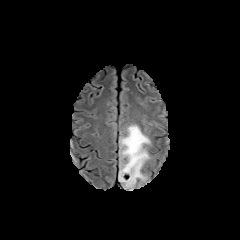
FLAIR MRI.
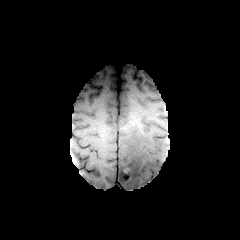
T1-weighted magnetic resonance.
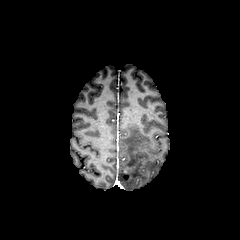
Post-contrast T1-weighted magnetic resonance of the same slice.
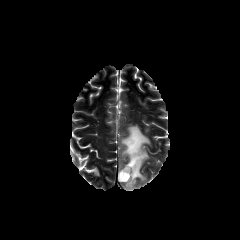
T2-weighted magnetic resonance.
Axial slice, 240x240 px
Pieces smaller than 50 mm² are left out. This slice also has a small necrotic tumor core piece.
Findings:
* peritumoral edema: x1=118 y1=125 x2=150 y2=190